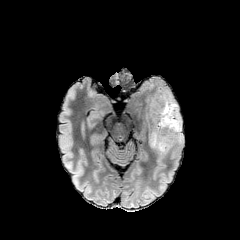
FLAIR magnetic resonance.
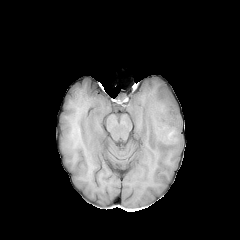
T1-weighted MR image of the same slice.
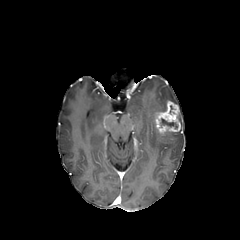
Post-contrast T1-weighted MR image of the same slice.
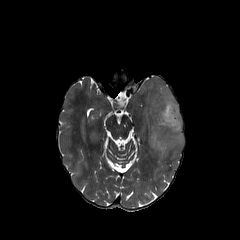
T2-weighted MR of the same slice.
Head, 240x240
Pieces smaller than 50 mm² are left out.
Segmented structures:
- necrotic tumor core: bbox(160, 118, 177, 128)
- enhancing tumor: bbox(155, 100, 180, 133)
- peritumoral edema: bbox(149, 91, 183, 157)